FLAIR MR image.
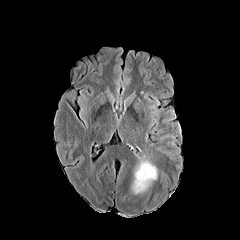
T1-weighted magnetic resonance.
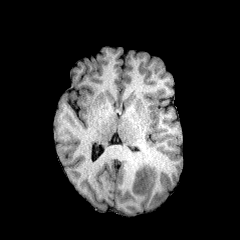
Post-contrast T1-weighted MR.
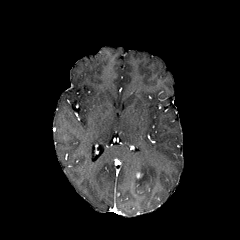
T2-weighted MRI.
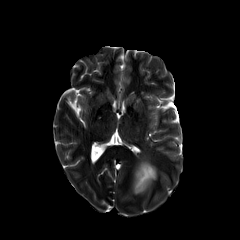
Brain.
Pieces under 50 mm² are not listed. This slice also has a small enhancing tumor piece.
peritumoral edema: 132,160,157,194